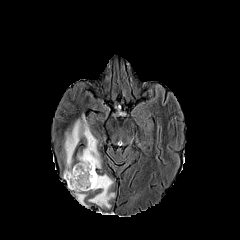
FLAIR MRI.
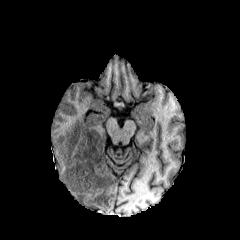
T1-weighted MR image of the same slice.
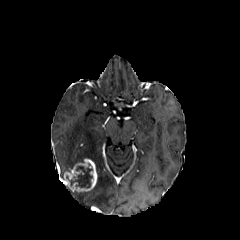
Post-contrast T1-weighted MR image.
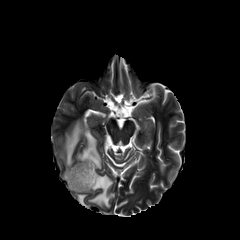
Same slice, T2-weighted MRI.
Brain, Axial view
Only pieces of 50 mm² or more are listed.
enhancing tumor = x1=63, y1=158, x2=97, y2=192
peritumoral edema = x1=64, y1=116, x2=101, y2=171; x1=74, y1=191, x2=87, y2=207; x1=88, y1=174, x2=114, y2=208
necrotic tumor core = x1=70, y1=166, x2=92, y2=188